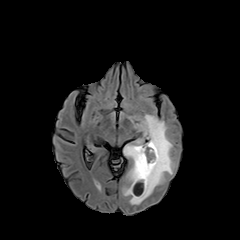
FLAIR magnetic resonance.
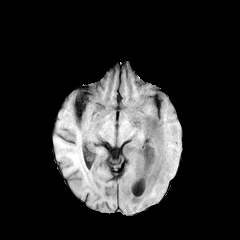
Same slice, T1-weighted MR image.
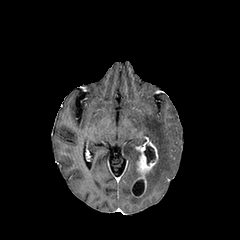
Post-contrast T1-weighted magnetic resonance of the same slice.
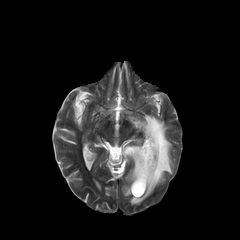
T2-weighted MR image.
Axial plane; Image size 240x240
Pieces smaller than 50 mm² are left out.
necrotic tumor core at region(132, 179, 144, 196); region(144, 145, 155, 164)
enhancing tumor at region(133, 141, 158, 194)
peritumoral edema at region(123, 114, 174, 204)